Brain. 240x240 px.
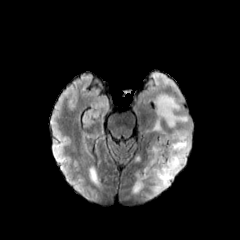
FLAIR MR image.
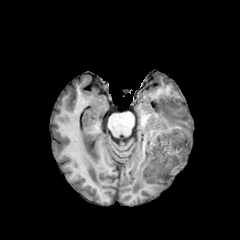
T1-weighted magnetic resonance of the same slice.
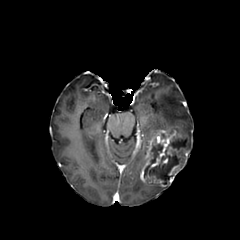
Post-contrast T1-weighted MR image.
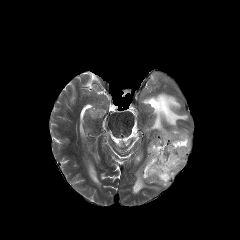
T2-weighted MRI.
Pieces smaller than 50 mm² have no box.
necrotic tumor core — 144:137:185:184
enhancing tumor — 140:129:189:187
peritumoral edema — 132:168:167:193, 147:94:191:149